Image covers 240 mm x 240 mm; Axial view
FLAIR MR image.
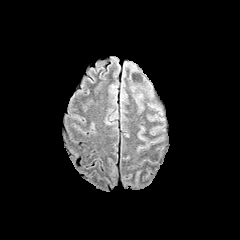
T1-weighted MR image.
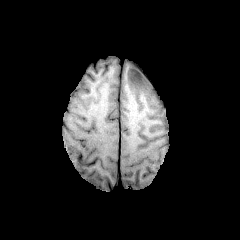
Post-contrast T1-weighted magnetic resonance.
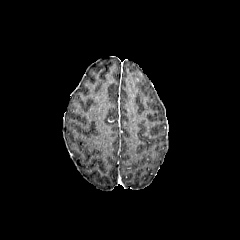
T2-weighted MRI.
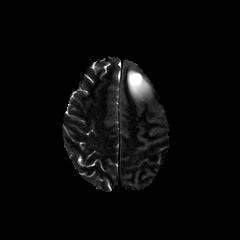
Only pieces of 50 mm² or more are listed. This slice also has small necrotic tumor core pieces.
enhancing_tumor:
  - (x1=128, y1=71, x2=143, y2=91)
peritumoral_edema:
  - (x1=135, y1=82, x2=148, y2=97)